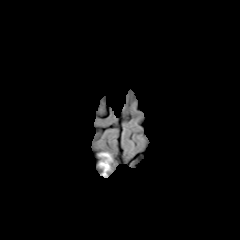
FLAIR MR.
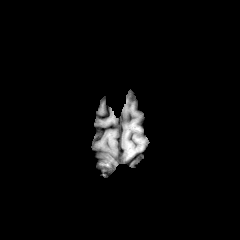
T1-weighted MR.
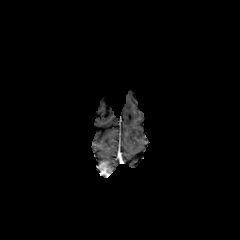
Post-contrast T1-weighted magnetic resonance of the same slice.
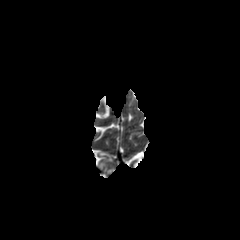
T2-weighted MR.
Axial plane
The enhancing tumor is bounded by (98,162,110,175). The peritumoral edema appears at (99,153,111,165).